Image size 240x240. Slice index 89. Axial slice.
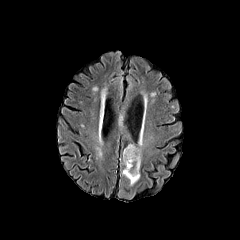
FLAIR MR.
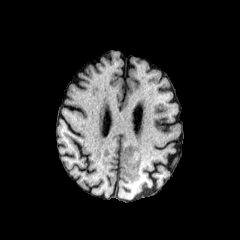
T1-weighted magnetic resonance.
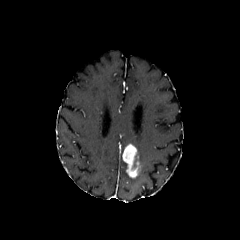
Same slice, post-contrast T1-weighted MRI.
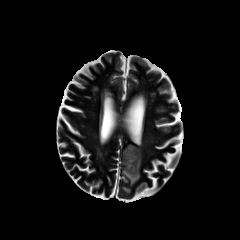
T2-weighted MRI.
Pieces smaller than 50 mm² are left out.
Segmented structures:
* enhancing tumor: (left=122, top=144, right=139, bottom=177)
* peritumoral edema: (left=120, top=139, right=143, bottom=185)